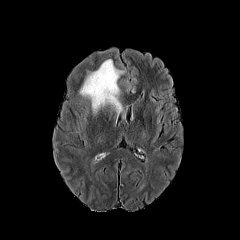
FLAIR MR.
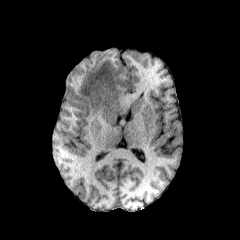
T1-weighted MRI.
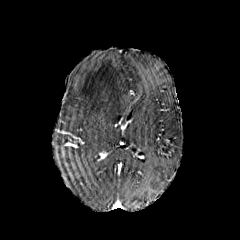
Same slice, post-contrast T1-weighted MRI.
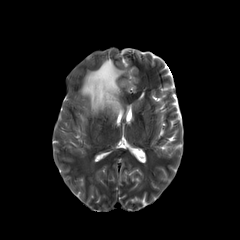
T2-weighted magnetic resonance.
Axial view
Findings:
* peritumoral edema: rect(80, 59, 124, 115)